FLAIR MR image.
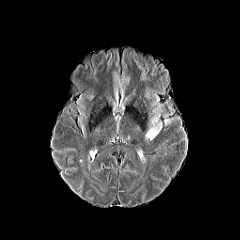
T1-weighted MR image.
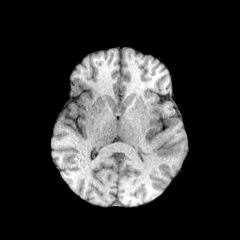
Post-contrast T1-weighted MRI.
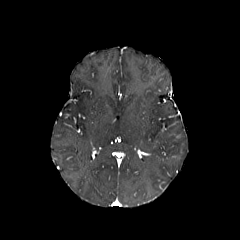
T2-weighted magnetic resonance.
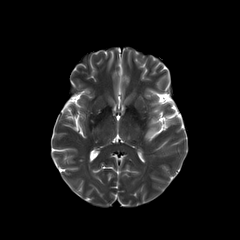
Head.
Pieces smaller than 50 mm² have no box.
peritumoral edema: {"x1": 146, "y1": 117, "x2": 160, "y2": 139}